FLAIR magnetic resonance.
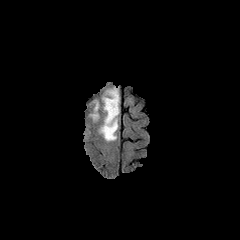
T1-weighted magnetic resonance.
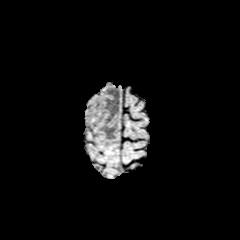
Post-contrast T1-weighted MRI.
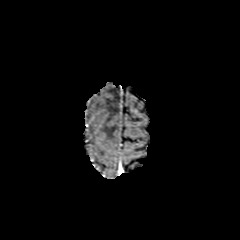
T2-weighted MR image.
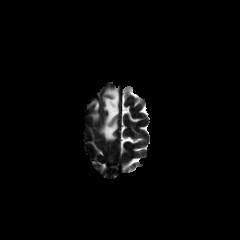
Brain, Axial slice
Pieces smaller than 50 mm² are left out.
peritumoral edema = box=[100, 88, 119, 140]